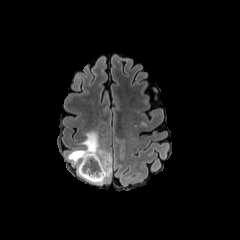
FLAIR MRI.
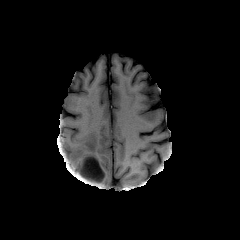
T1-weighted magnetic resonance.
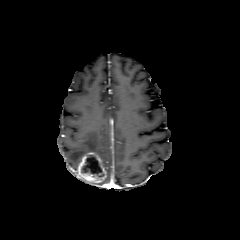
Post-contrast T1-weighted MR.
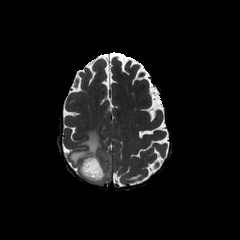
T2-weighted MR image.
Brain. Axial view. 240x240 px.
The enhancing tumor lies within [77,152,106,182]. The necrotic tumor core lies within [81,155,103,176]. The peritumoral edema is located at [68,131,111,184].